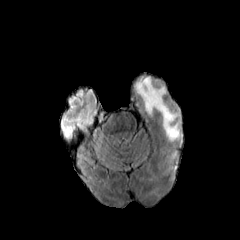
FLAIR MR.
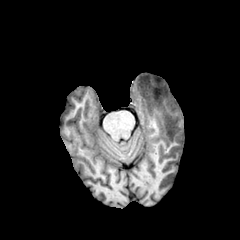
T1-weighted MR image of the same slice.
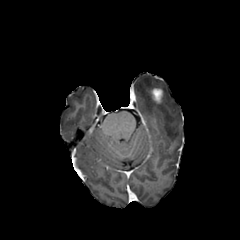
Same slice, post-contrast T1-weighted MR.
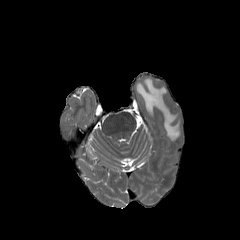
T2-weighted MRI of the same slice.
Axial plane, Image size 240x240
peritumoral edema = [135,77,181,141]
enhancing tumor = [150,87,163,104]